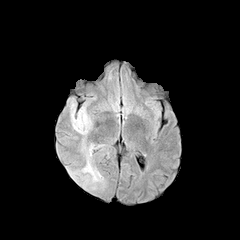
FLAIR MR.
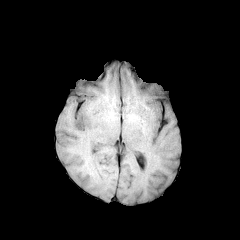
T1-weighted magnetic resonance.
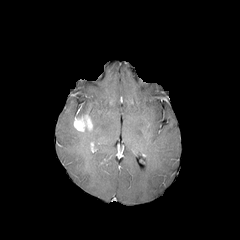
Same slice, post-contrast T1-weighted MR image.
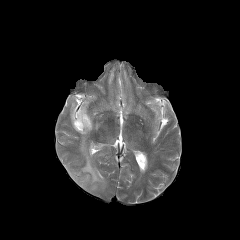
T2-weighted magnetic resonance.
Brain; Image size 240x240; Axial slice
{"enhancing_tumor": ["box=[73, 115, 92, 131]"], "peritumoral_edema": ["box=[70, 102, 105, 190]"]}